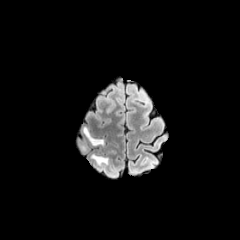
FLAIR MR.
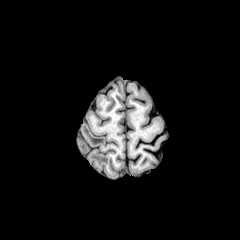
Same slice, T1-weighted MR image.
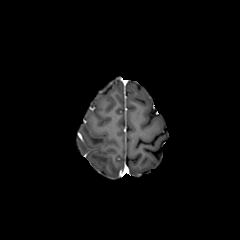
Post-contrast T1-weighted MR image of the same slice.
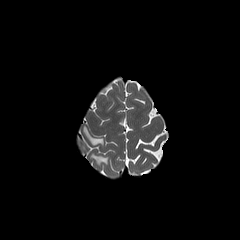
Same slice, T2-weighted MR image.
Brain.
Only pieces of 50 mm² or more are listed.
Segmented structures:
- peritumoral edema: bbox(91, 154, 108, 164); bbox(83, 126, 104, 145)